FLAIR magnetic resonance.
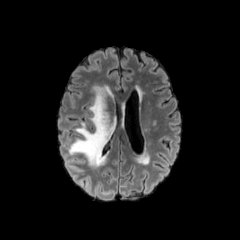
T1-weighted MR.
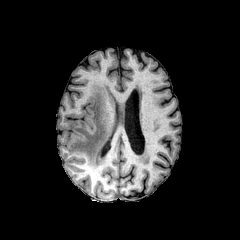
Post-contrast T1-weighted MR.
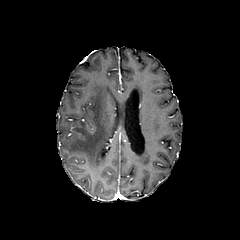
T2-weighted magnetic resonance.
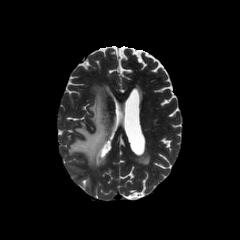
The peritumoral edema is bounded by <bbox>69, 86, 113, 167</bbox>.